Axial plane. Slice 34/155. Brain.
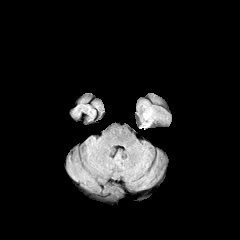
FLAIR MR.
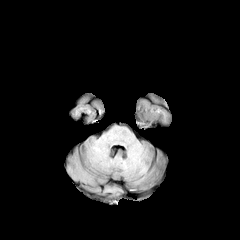
Same slice, T1-weighted MR image.
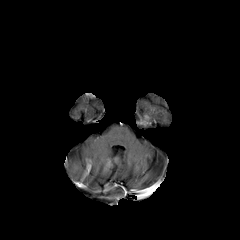
Post-contrast T1-weighted MRI of the same slice.
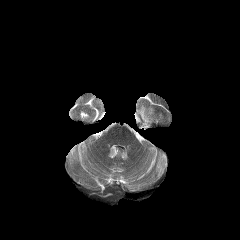
T2-weighted magnetic resonance of the same slice.
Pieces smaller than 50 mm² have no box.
The largest peritumoral edema region lies within 139:105:155:123. The enhancing tumor lies within 140:114:150:125.